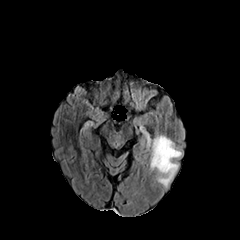
FLAIR MR image.
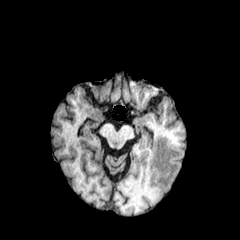
T1-weighted magnetic resonance.
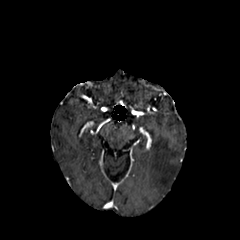
Post-contrast T1-weighted magnetic resonance.
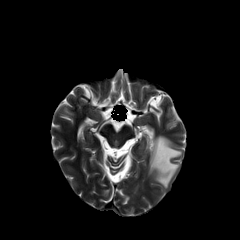
T2-weighted MR of the same slice.
Axial plane | Head
The peritumoral edema lies within left=150, top=135, right=182, bottom=188.